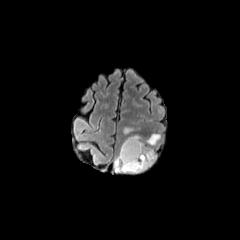
FLAIR MR.
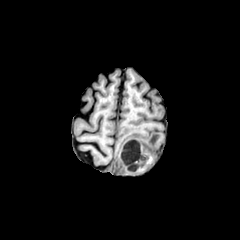
Same slice, T1-weighted MRI.
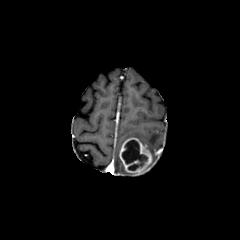
Post-contrast T1-weighted magnetic resonance.
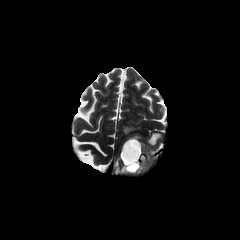
T2-weighted MR of the same slice.
Axial view
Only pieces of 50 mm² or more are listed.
<segmentation>
  <enhancing_tumor><bbox>119, 137, 152, 174</bbox></enhancing_tumor>
  <necrotic_tumor_core><bbox>122, 140, 147, 170</bbox></necrotic_tumor_core>
  <peritumoral_edema><bbox>146, 133, 160, 161</bbox>, <bbox>114, 154, 127, 173</bbox>, <bbox>123, 127, 133, 134</bbox></peritumoral_edema>
</segmentation>